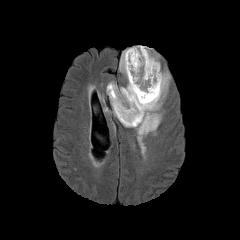
FLAIR MRI.
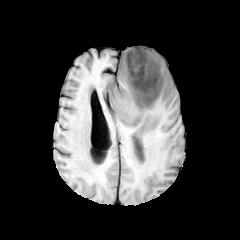
T1-weighted MRI.
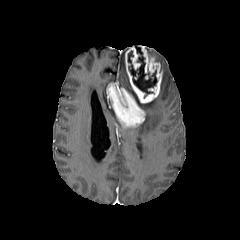
Post-contrast T1-weighted MRI.
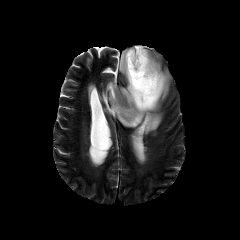
T2-weighted MRI.
Image size 240x240
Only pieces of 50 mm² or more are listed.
necrotic tumor core = region(128, 47, 157, 97)
enhancing tumor = region(106, 45, 162, 126)
peritumoral edema = region(119, 50, 131, 90); region(126, 70, 170, 144)